FLAIR MR image.
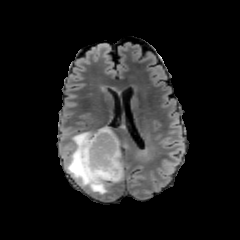
T1-weighted MR image.
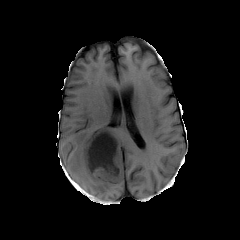
Post-contrast T1-weighted MRI.
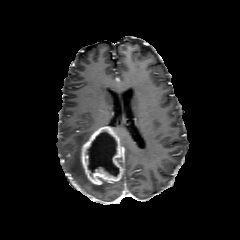
T2-weighted magnetic resonance.
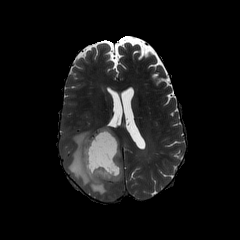
Axial view.
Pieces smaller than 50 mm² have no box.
enhancing_tumor:
  - 81:125:123:185
necrotic_tumor_core:
  - 86:131:119:176
peritumoral_edema:
  - 66:131:109:194